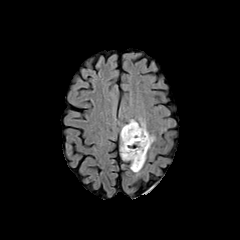
FLAIR MR image.
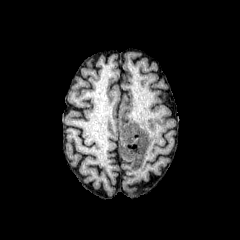
T1-weighted MR of the same slice.
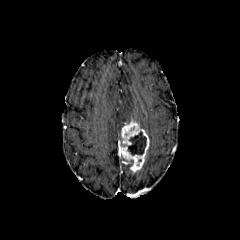
Post-contrast T1-weighted MR image.
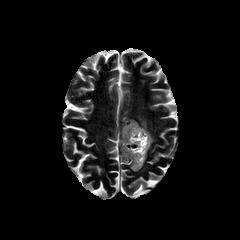
T2-weighted MR.
Axial slice
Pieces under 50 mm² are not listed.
The largest necrotic tumor core region is located at rect(128, 132, 146, 155). The largest peritumoral edema region is at rect(139, 118, 155, 148). The enhancing tumor is at rect(119, 119, 149, 172).